Axial slice | Slice index 38 | Brain
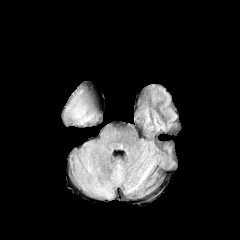
FLAIR MRI.
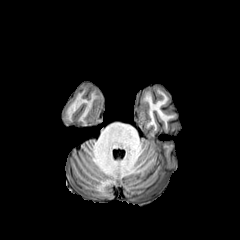
Same slice, T1-weighted MR image.
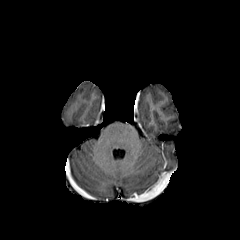
Post-contrast T1-weighted MR of the same slice.
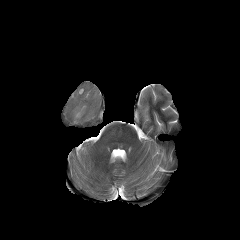
T2-weighted MR image.
{"peritumoral_edema": ["[x1=74, y1=107, x2=84, y2=118]"]}